Slice 73 of 155. Head. Image width 240 mm. 240x240.
FLAIR MR image.
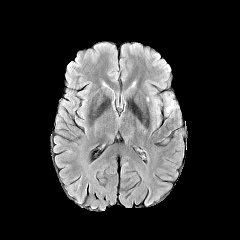
T1-weighted MRI.
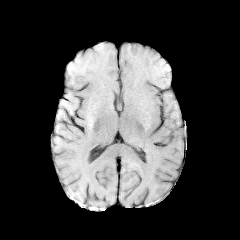
Post-contrast T1-weighted MRI.
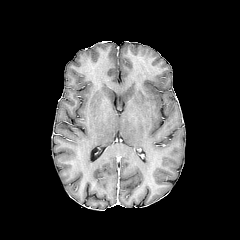
T2-weighted MR image.
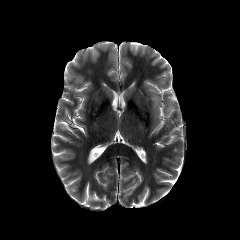
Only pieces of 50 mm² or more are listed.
peritumoral edema: rect(165, 93, 176, 116)